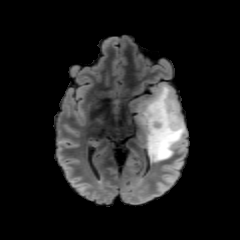
FLAIR MR.
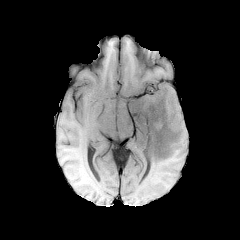
T1-weighted MRI.
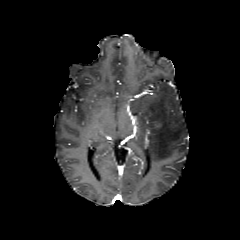
Same slice, post-contrast T1-weighted MR image.
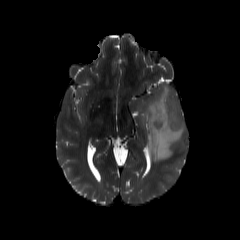
Same slice, T2-weighted MR image.
Brain
Findings:
• peritumoral edema: [136, 85, 186, 162]